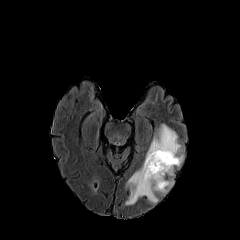
FLAIR MR image.
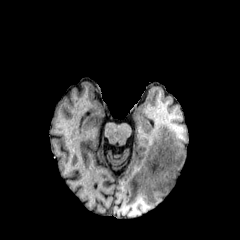
T1-weighted MR.
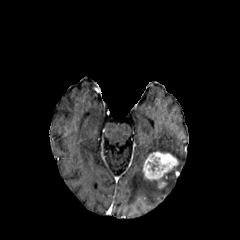
Post-contrast T1-weighted MR image.
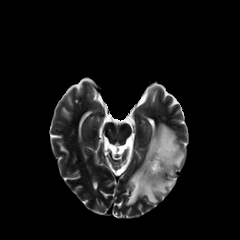
Same slice, T2-weighted magnetic resonance.
Axial plane
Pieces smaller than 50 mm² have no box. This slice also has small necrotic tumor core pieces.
enhancing_tumor:
  - [x1=143, y1=151, x2=178, y2=188]
peritumoral_edema:
  - [x1=125, y1=166, x2=174, y2=205]
  - [x1=145, y1=124, x2=184, y2=167]